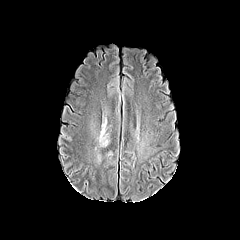
FLAIR MRI.
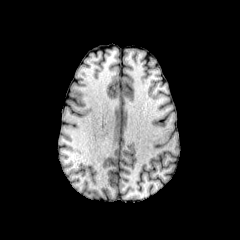
T1-weighted magnetic resonance.
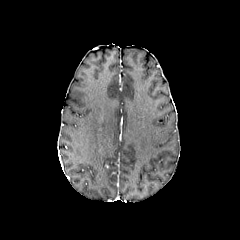
Post-contrast T1-weighted MR image.
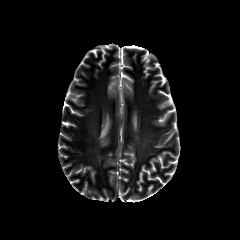
Same slice, T2-weighted MRI.
The peritumoral edema is bounded by [99,125,108,145].